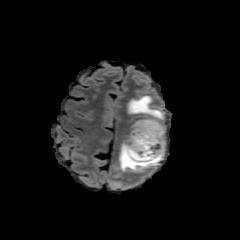
FLAIR magnetic resonance.
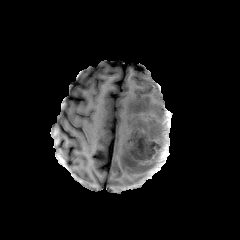
T1-weighted MR image of the same slice.
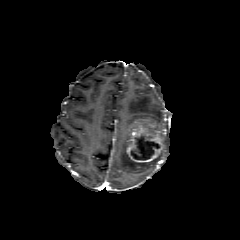
Same slice, post-contrast T1-weighted magnetic resonance.
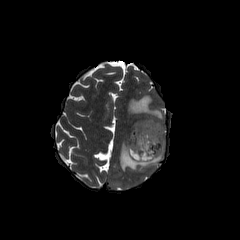
T2-weighted MRI of the same slice.
240x240
<segmentation>
  <necrotic_tumor_core>[131, 136, 159, 160]</necrotic_tumor_core>
  <enhancing_tumor>[125, 118, 166, 164]</enhancing_tumor>
  <peritumoral_edema>[119, 139, 159, 171], [127, 95, 166, 127]</peritumoral_edema>
</segmentation>